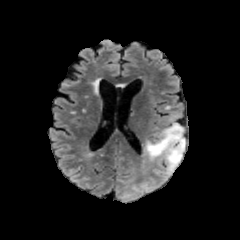
FLAIR MR.
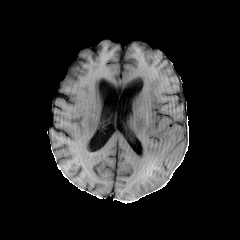
T1-weighted MRI.
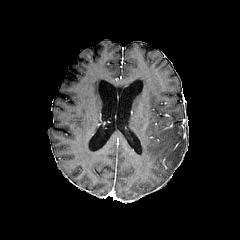
Post-contrast T1-weighted magnetic resonance of the same slice.
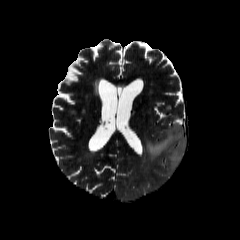
T2-weighted MR image.
Axial slice; Brain
The peritumoral edema is bounded by {"x1": 144, "y1": 123, "x2": 185, "y2": 171}.